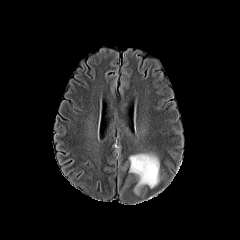
FLAIR MR.
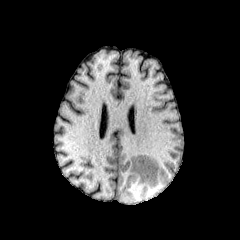
Same slice, T1-weighted MRI.
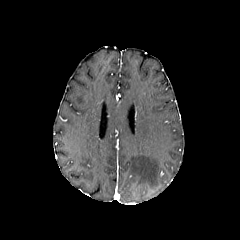
Post-contrast T1-weighted magnetic resonance.
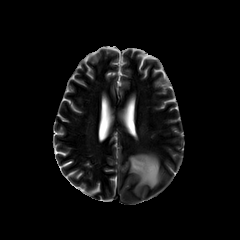
T2-weighted magnetic resonance.
Axial plane.
peritumoral edema — x1=129 y1=153 x2=159 y2=193